Brain | Image width 240 mm, 1.00 mm slice spacing
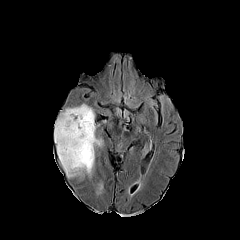
FLAIR MRI.
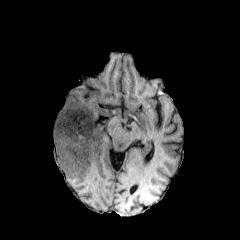
T1-weighted MR image.
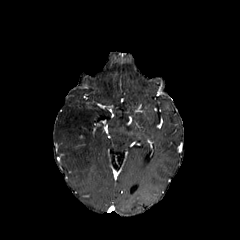
Post-contrast T1-weighted MR.
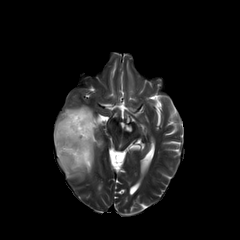
T2-weighted magnetic resonance.
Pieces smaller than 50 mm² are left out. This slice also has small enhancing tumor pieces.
peritumoral edema at (54, 104, 102, 178)